FLAIR MR.
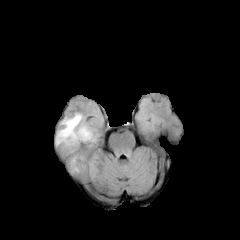
T1-weighted MRI.
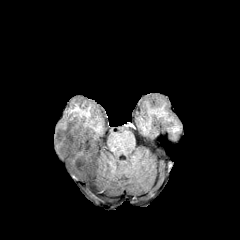
Post-contrast T1-weighted MR image.
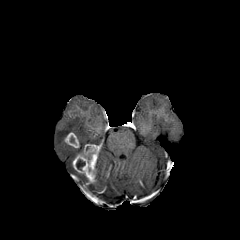
T2-weighted MR.
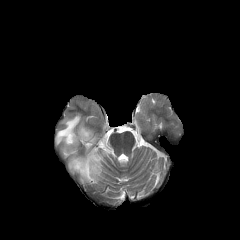
240x240 px; Axial plane; Brain
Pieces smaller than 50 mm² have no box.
2 enhancing tumor regions appear at 64 132 79 148, 72 144 99 181. The largest necrotic tumor core region is bounded by 76 159 85 169. The largest peritumoral edema region is located at 55 113 96 173.